Image width 240 mm.
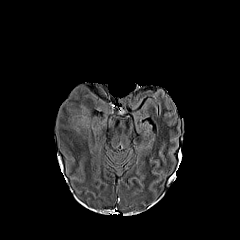
FLAIR MRI.
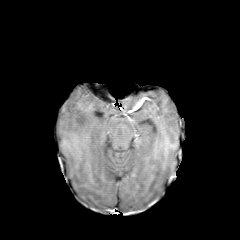
T1-weighted MR of the same slice.
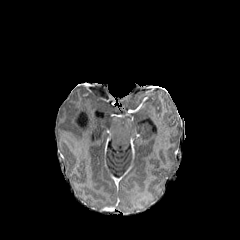
Post-contrast T1-weighted MR.
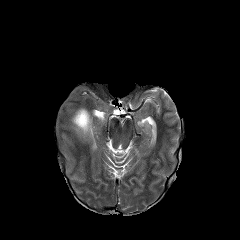
T2-weighted magnetic resonance of the same slice.
necrotic tumor core: [x1=76, y1=112, x2=88, y2=127] | peritumoral edema: [x1=72, y1=106, x2=91, y2=133]